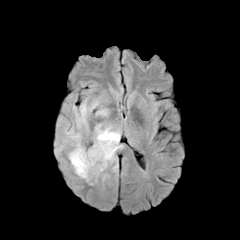
FLAIR MR image.
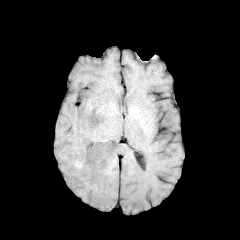
T1-weighted MR image.
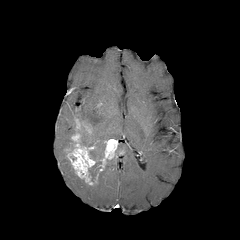
Post-contrast T1-weighted MR of the same slice.
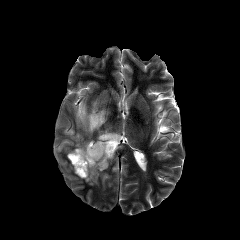
T2-weighted MR image.
240x240. Brain.
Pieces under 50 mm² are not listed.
enhancing tumor: 66, 133, 118, 184
necrotic tumor core: 89, 161, 101, 180
peritumoral edema: 98, 170, 109, 182; 94, 109, 108, 117; 74, 100, 98, 135; 104, 144, 123, 171; 55, 127, 87, 154; 89, 123, 121, 159